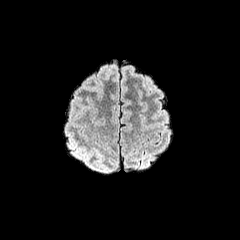
FLAIR MR image.
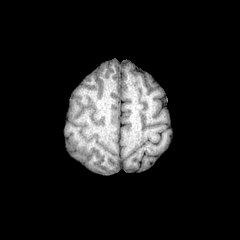
T1-weighted MR image.
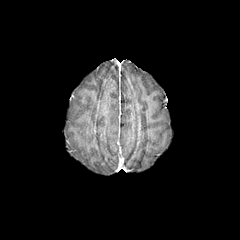
Post-contrast T1-weighted MRI.
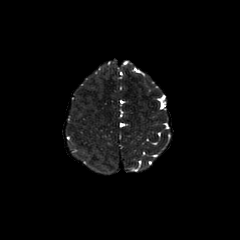
T2-weighted MR of the same slice.
Axial slice. Head.
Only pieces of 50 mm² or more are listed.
The 2 largest peritumoral edema regions are bounded by box(83, 85, 97, 90); box(93, 69, 103, 85).